Slice index 54; Image width 240 mm; Axial plane
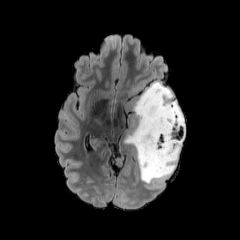
FLAIR MR image.
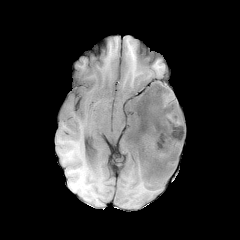
T1-weighted magnetic resonance.
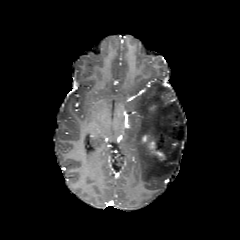
Same slice, post-contrast T1-weighted MR.
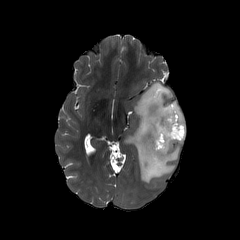
Same slice, T2-weighted magnetic resonance.
peritumoral_edema:
  - box=[125, 82, 185, 183]
enhancing_tumor:
  - box=[142, 135, 164, 159]